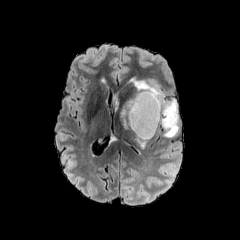
FLAIR MR.
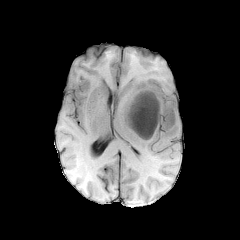
T1-weighted MR image.
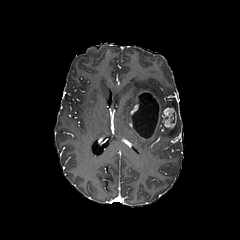
Same slice, post-contrast T1-weighted MRI.
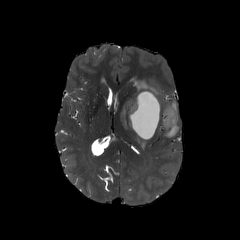
T2-weighted magnetic resonance.
Axial slice. Head.
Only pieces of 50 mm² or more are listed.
The 2 largest enhancing tumor regions are bounded by (152,94,176,128), (129,91,149,129). The 3 largest peritumoral edema regions appear at (164,100,178,137), (120,94,137,129), (132,79,162,103). The largest necrotic tumor core region is bounded by (131,93,159,138).